Image width 240 mm, 1.00 mm slice spacing, 240x240, Brain
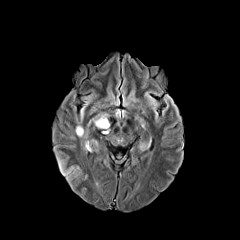
FLAIR MR image.
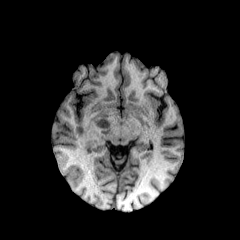
T1-weighted MRI.
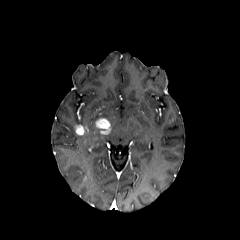
Post-contrast T1-weighted MR image.
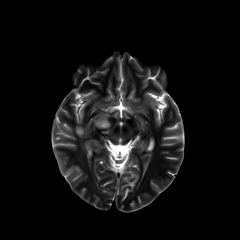
T2-weighted MRI of the same slice.
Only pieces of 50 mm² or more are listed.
peritumoral edema at region(87, 114, 107, 126); region(85, 139, 97, 149)
enhancing tumor at region(95, 118, 110, 134); region(76, 125, 85, 135)